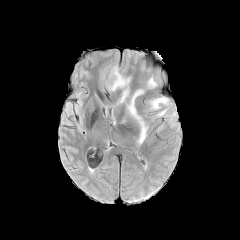
FLAIR MRI.
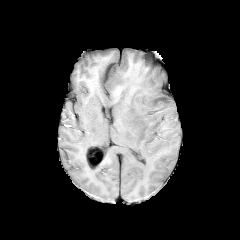
Same slice, T1-weighted MR image.
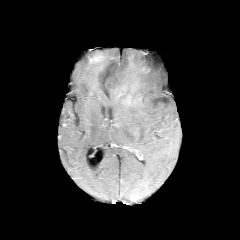
Same slice, post-contrast T1-weighted MRI.
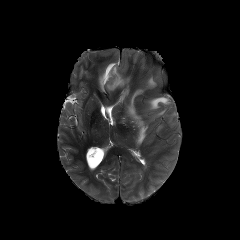
T2-weighted MRI.
Head. Image size 240x240.
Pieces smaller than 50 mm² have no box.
peritumoral_edema:
  - x1=148, y1=96, x2=170, y2=110
  - x1=155, y1=109, x2=166, y2=116
  - x1=107, y1=49, x2=166, y2=144